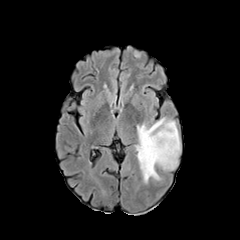
FLAIR MRI.
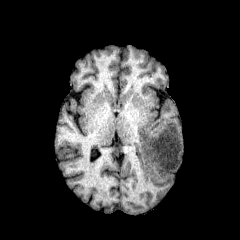
Same slice, T1-weighted magnetic resonance.
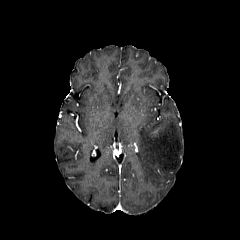
Post-contrast T1-weighted MRI.
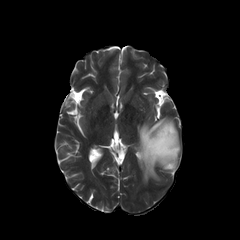
T2-weighted MRI.
Axial plane
The peritumoral edema is bounded by box=[137, 117, 180, 183].